Brain. Slice index 87.
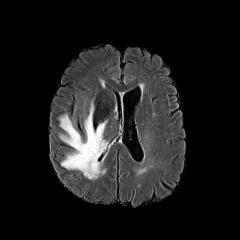
FLAIR MR image.
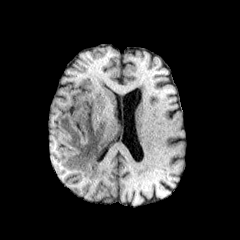
T1-weighted MRI.
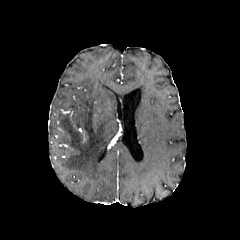
Post-contrast T1-weighted MR.
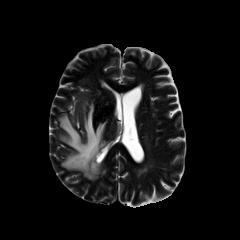
T2-weighted MRI of the same slice.
<segmentation>
  <peritumoral_edema>x1=59 y1=102 x2=107 y2=179</peritumoral_edema>
</segmentation>